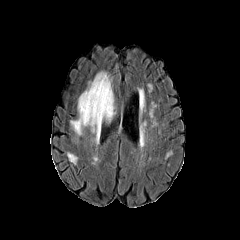
FLAIR magnetic resonance.
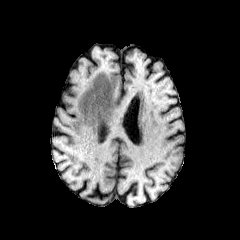
T1-weighted MR.
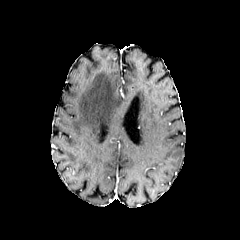
Post-contrast T1-weighted MR image.
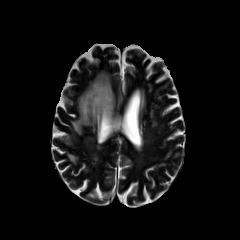
T2-weighted MRI.
Axial view, Image size 240x240
Annotated regions:
- peritumoral edema: [70,71,115,134]